FLAIR magnetic resonance.
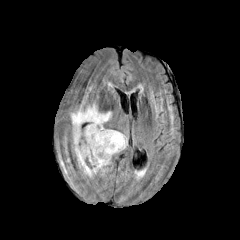
T1-weighted MRI.
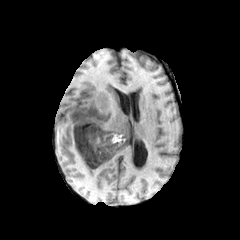
Post-contrast T1-weighted MRI.
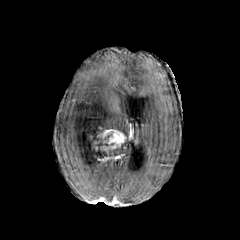
T2-weighted MR.
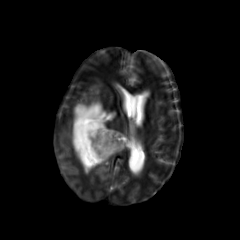
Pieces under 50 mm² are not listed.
enhancing tumor at 94, 129, 126, 163
necrotic tumor core at 84, 137, 108, 165
peritumoral edema at 72, 102, 112, 175